FLAIR MRI.
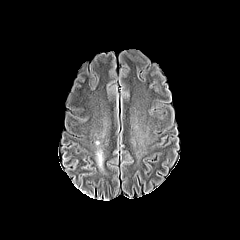
T1-weighted magnetic resonance.
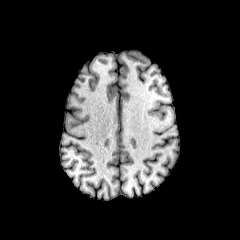
Post-contrast T1-weighted magnetic resonance.
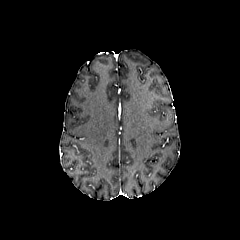
T2-weighted MRI.
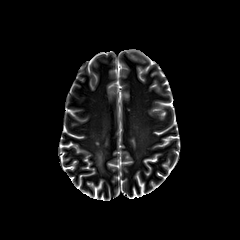
240x240 | Head
The peritumoral edema appears at box=[97, 151, 102, 167].